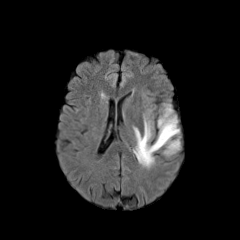
FLAIR MR.
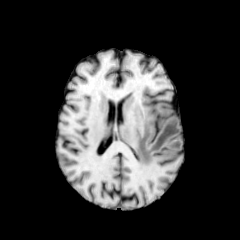
T1-weighted MR image.
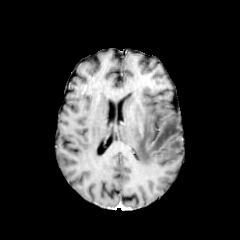
Post-contrast T1-weighted MR of the same slice.
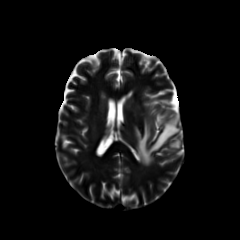
T2-weighted MR image.
240x240.
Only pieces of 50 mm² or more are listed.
Annotated regions:
• peritumoral edema: <box>171,140,180,148</box>, <box>134,121,179,164</box>